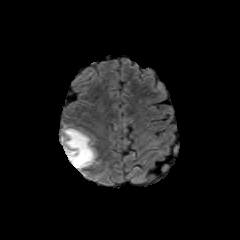
FLAIR MR.
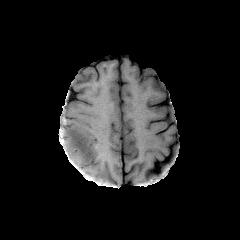
T1-weighted MR image.
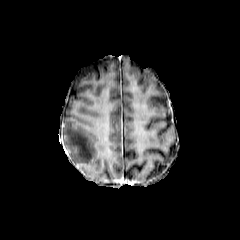
Post-contrast T1-weighted MR.
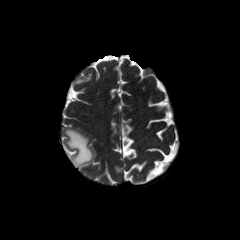
T2-weighted MR.
240x240 px
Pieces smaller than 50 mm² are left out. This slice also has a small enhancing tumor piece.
peritumoral edema: 63 126 96 176